Head; Axial view; 240x240
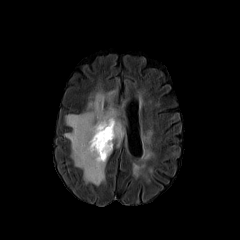
FLAIR magnetic resonance.
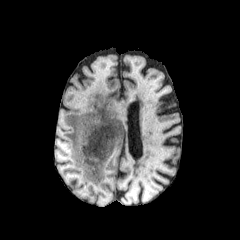
T1-weighted MRI of the same slice.
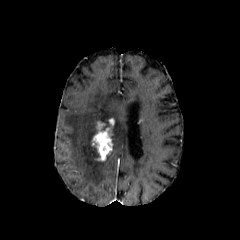
Same slice, post-contrast T1-weighted magnetic resonance.
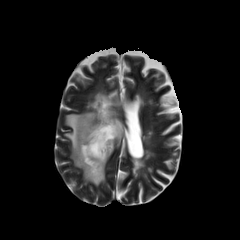
T2-weighted MRI of the same slice.
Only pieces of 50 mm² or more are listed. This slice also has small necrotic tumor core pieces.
The peritumoral edema is at x1=64, y1=91, x2=124, y2=185. The enhancing tumor is bounded by x1=91, y1=118, x2=114, y2=160.